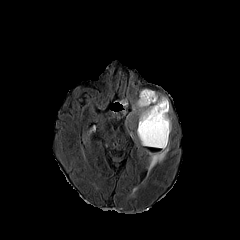
FLAIR MRI.
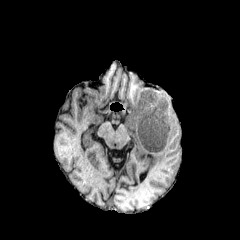
T1-weighted MR.
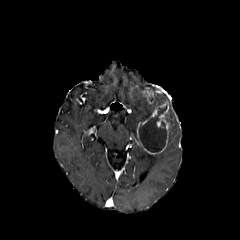
Post-contrast T1-weighted MR.
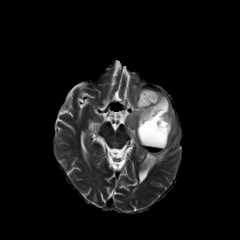
T2-weighted MR.
Axial view. Head. 240x240.
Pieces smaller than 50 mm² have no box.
necrotic tumor core: [139,105,166,152]
enhancing tumor: [142,89,155,103], [137,101,169,154]
peritumoral edema: [132,91,168,123], [166,105,171,133], [148,138,169,170]